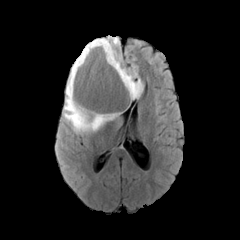
FLAIR MR.
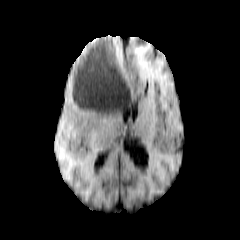
T1-weighted MRI of the same slice.
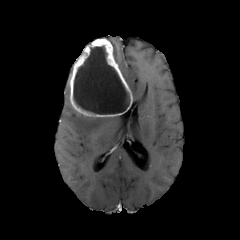
Post-contrast T1-weighted MR of the same slice.
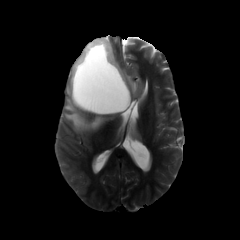
Same slice, T2-weighted MRI.
Brain; 240x240 px
Annotated regions:
* peritumoral edema: l=63, t=82, r=116, b=133; l=106, t=36, r=142, b=99
* necrotic tumor core: l=73, t=46, r=129, b=114
* enhancing tumor: l=68, t=37, r=133, b=117